Slice index 96. Axial plane. Brain.
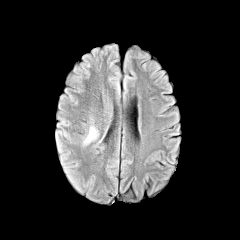
FLAIR MR.
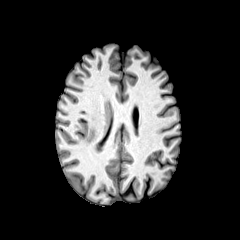
T1-weighted magnetic resonance of the same slice.
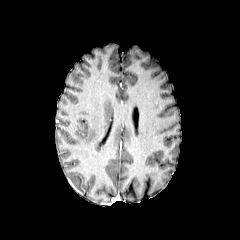
Post-contrast T1-weighted magnetic resonance of the same slice.
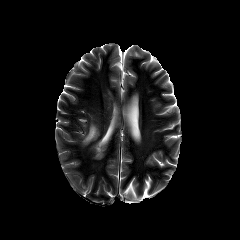
T2-weighted MRI of the same slice.
peritumoral edema: (83,126,98,144)